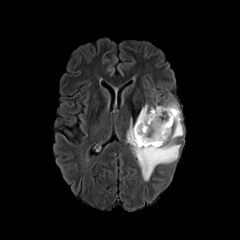
FLAIR MR.
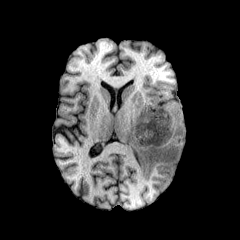
Same slice, T1-weighted MR.
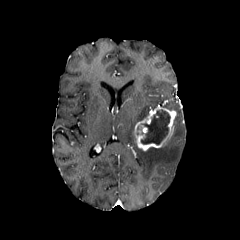
Post-contrast T1-weighted MR image of the same slice.
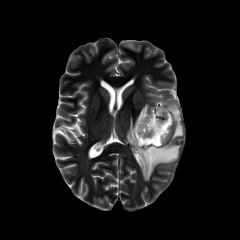
T2-weighted magnetic resonance.
Head
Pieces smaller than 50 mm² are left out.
The largest enhancing tumor region lies within {"x1": 133, "y1": 105, "x2": 176, "y2": 150}. The largest necrotic tumor core region is at {"x1": 141, "y1": 110, "x2": 170, "y2": 144}. The 2 largest peritumoral edema regions appear at {"x1": 126, "y1": 102, "x2": 183, "y2": 181}, {"x1": 135, "y1": 104, "x2": 149, "y2": 124}.